FLAIR MR.
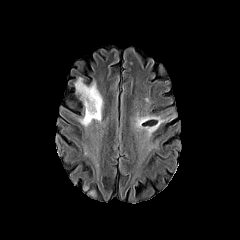
T1-weighted magnetic resonance.
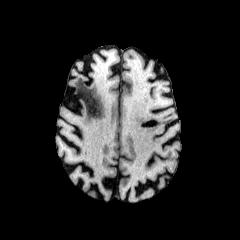
Post-contrast T1-weighted MR.
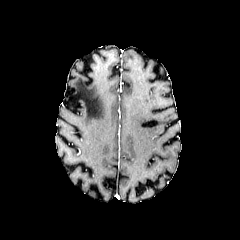
T2-weighted MR image.
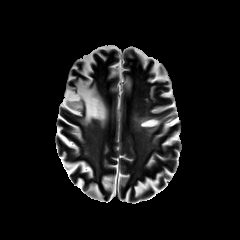
Image size 240x240.
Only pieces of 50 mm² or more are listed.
The 3 largest peritumoral edema regions are located at l=135, t=112, r=164, b=136; l=88, t=189, r=95, b=197; l=75, t=77, r=103, b=127.